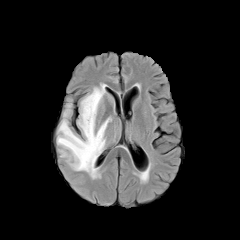
FLAIR magnetic resonance.
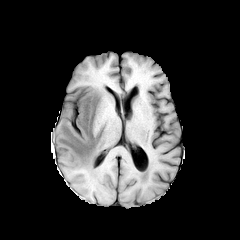
Same slice, T1-weighted MRI.
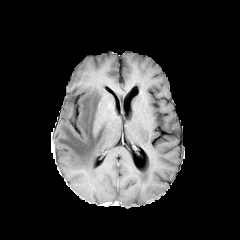
Post-contrast T1-weighted MR image.
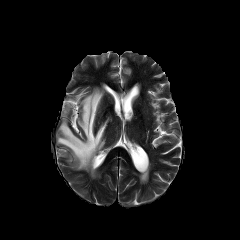
T2-weighted magnetic resonance.
Head. Image size 240x240.
The peritumoral edema is bounded by (left=57, top=84, right=111, bottom=178).